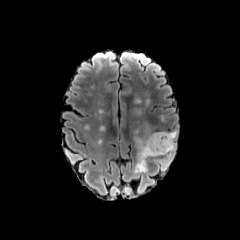
FLAIR MR.
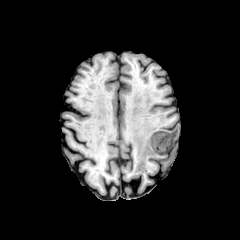
T1-weighted MR of the same slice.
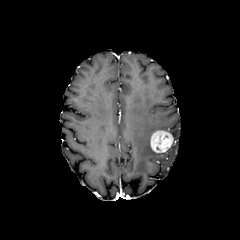
Same slice, post-contrast T1-weighted MR.
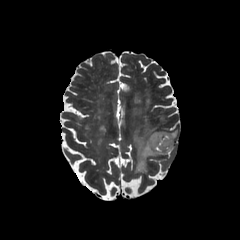
T2-weighted MR of the same slice.
Axial view. Image size 240x240.
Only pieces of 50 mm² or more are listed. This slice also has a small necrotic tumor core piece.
enhancing_tumor:
  - region(150, 130, 173, 152)
peritumoral_edema:
  - region(132, 126, 177, 173)